Image covers 240 mm x 240 mm.
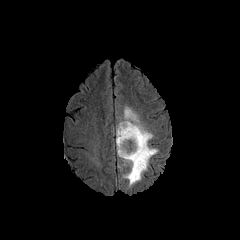
FLAIR magnetic resonance.
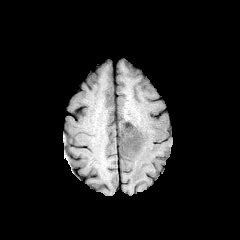
T1-weighted MRI of the same slice.
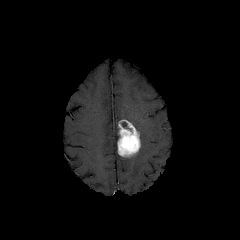
Post-contrast T1-weighted magnetic resonance.
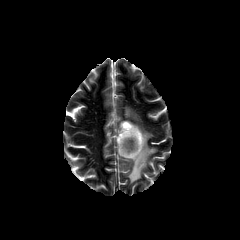
T2-weighted MR image.
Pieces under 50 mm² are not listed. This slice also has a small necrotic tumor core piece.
{"peritumoral_edema": ["bbox=[121, 106, 157, 185]"], "enhancing_tumor": ["bbox=[117, 119, 140, 157]"]}